FLAIR MR image.
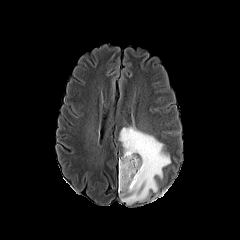
T1-weighted magnetic resonance.
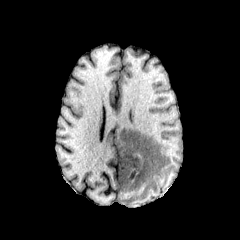
Post-contrast T1-weighted MR.
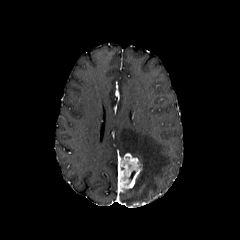
T2-weighted MR.
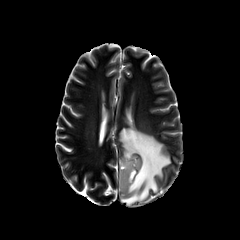
Head
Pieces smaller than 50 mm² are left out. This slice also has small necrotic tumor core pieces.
<segmentation>
  <enhancing_tumor>x1=118, y1=153, x2=142, y2=191</enhancing_tumor>
  <peritumoral_edema>x1=119, y1=126, x2=170, y2=204</peritumoral_edema>
</segmentation>